Image width 240 mm, 1.00 mm slice spacing
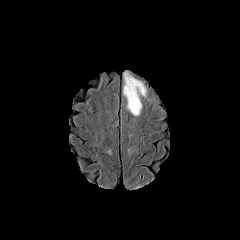
FLAIR MRI.
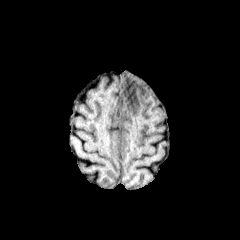
Same slice, T1-weighted MRI.
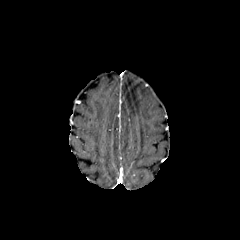
Same slice, post-contrast T1-weighted MR image.
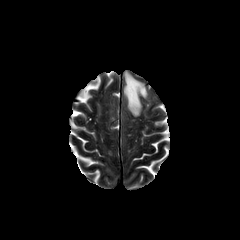
T2-weighted MRI.
peritumoral edema: region(123, 71, 146, 115)